FLAIR MR.
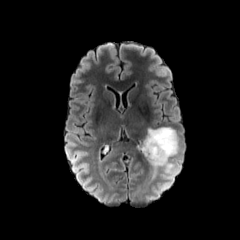
T1-weighted MR.
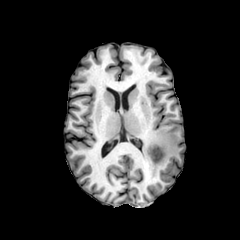
Post-contrast T1-weighted MR.
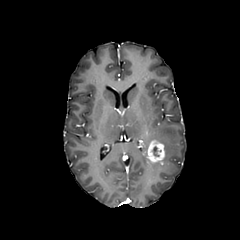
T2-weighted MRI.
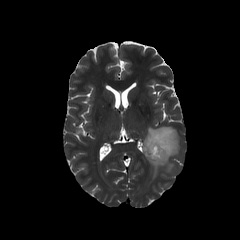
Axial plane. Head.
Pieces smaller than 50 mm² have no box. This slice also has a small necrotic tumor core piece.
{"peritumoral_edema": ["region(143, 127, 179, 174)"], "enhancing_tumor": ["region(147, 140, 164, 164)"]}